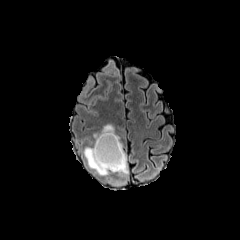
FLAIR MRI.
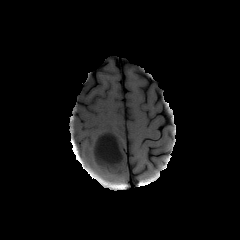
T1-weighted MR image.
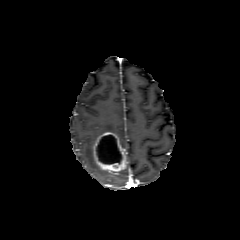
Post-contrast T1-weighted MR image.
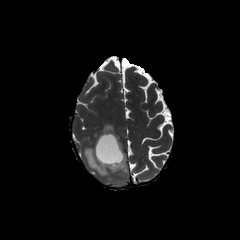
Same slice, T2-weighted MR image.
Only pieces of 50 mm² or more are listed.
The 3 largest peritumoral edema regions are located at [x1=93, y1=124, x2=116, y2=140], [x1=83, y1=146, x2=114, y2=176], [x1=115, y1=165, x2=128, y2=175]. The enhancing tumor appears at [x1=93, y1=131, x2=127, y2=173]. The necrotic tumor core appears at [x1=96, y1=135, x2=121, y2=164].